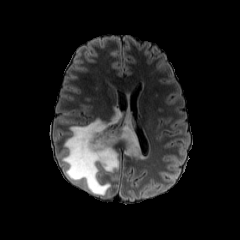
FLAIR magnetic resonance.
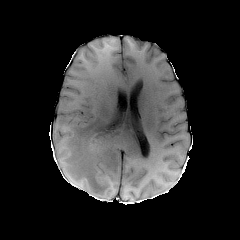
T1-weighted magnetic resonance.
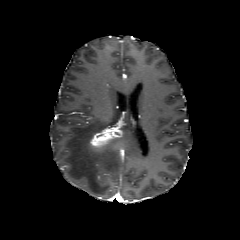
Post-contrast T1-weighted MR.
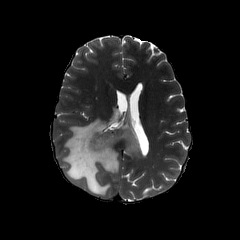
T2-weighted MRI.
Head
<segmentation>
  <enhancing_tumor>left=89, top=127, right=122, bottom=150</enhancing_tumor>
  <peritumoral_edema>left=62, top=107, right=140, bottom=195</peritumoral_edema>
</segmentation>